Image width 240 mm. Slice 47 of 155. Head.
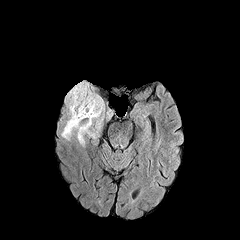
FLAIR MRI.
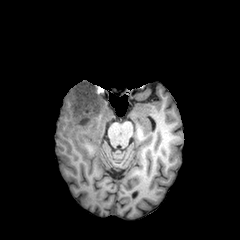
Same slice, T1-weighted MR image.
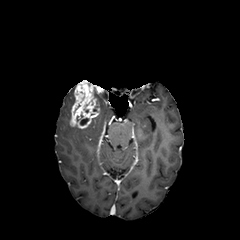
Post-contrast T1-weighted magnetic resonance.
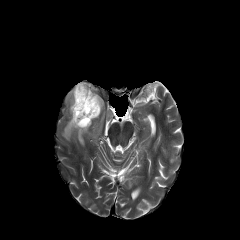
T2-weighted MR of the same slice.
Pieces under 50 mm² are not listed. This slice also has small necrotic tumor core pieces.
peritumoral edema: [x1=61, y1=87, x2=104, y2=145] | enhancing tumor: [x1=69, y1=81, x2=100, y2=128]